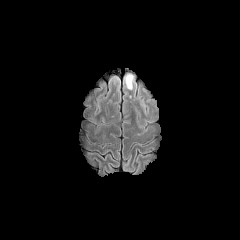
FLAIR MR image.
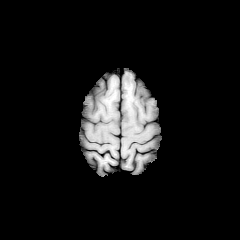
T1-weighted magnetic resonance.
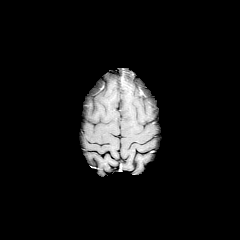
Same slice, post-contrast T1-weighted MRI.
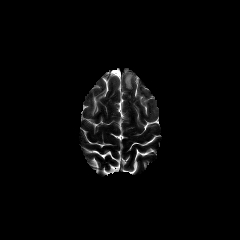
T2-weighted magnetic resonance of the same slice.
Head, Axial slice
peritumoral edema — box(124, 73, 133, 89)